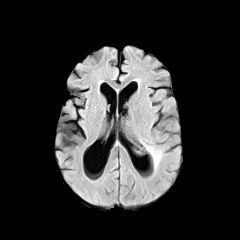
FLAIR MRI.
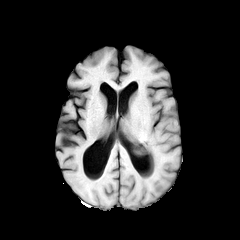
T1-weighted MR.
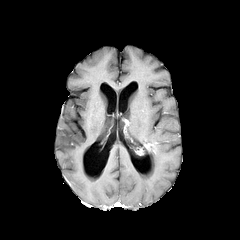
Same slice, post-contrast T1-weighted magnetic resonance.
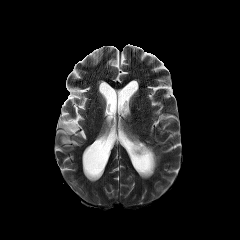
T2-weighted MRI.
Brain
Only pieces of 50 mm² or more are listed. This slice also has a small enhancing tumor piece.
The largest peritumoral edema region lies within (x1=150, y1=145, x2=161, y2=168).